Brain
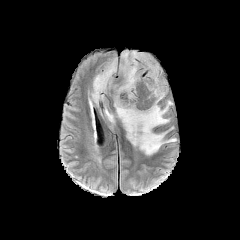
FLAIR MRI.
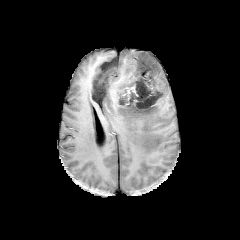
T1-weighted MRI.
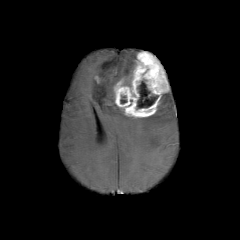
Same slice, post-contrast T1-weighted MR.
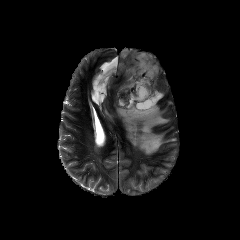
T2-weighted MR.
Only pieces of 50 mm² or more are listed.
necrotic_tumor_core:
  - [137, 81, 158, 108]
enhancing_tumor:
  - [114, 51, 168, 117]
peritumoral_edema:
  - [91, 50, 176, 155]